Image width 240 mm, 1.00 mm slice spacing, Slice index 53, Axial view
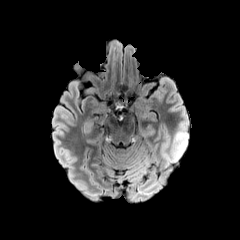
FLAIR magnetic resonance.
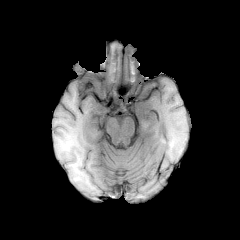
Same slice, T1-weighted MRI.
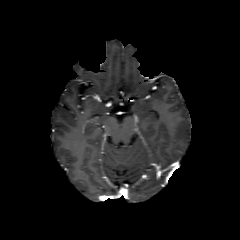
Post-contrast T1-weighted magnetic resonance of the same slice.
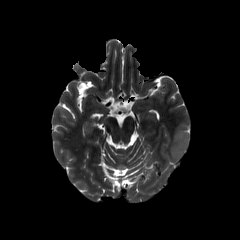
T2-weighted MR image of the same slice.
peritumoral edema — box=[163, 123, 188, 167]